240x240 px, Brain
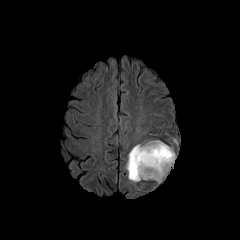
FLAIR magnetic resonance.
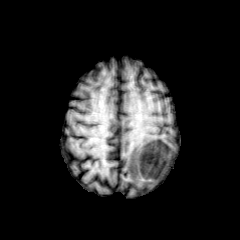
Same slice, T1-weighted magnetic resonance.
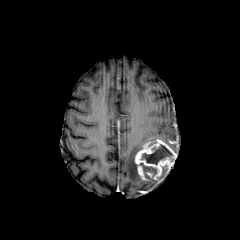
Post-contrast T1-weighted MRI of the same slice.
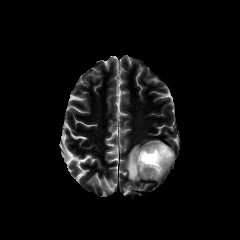
Same slice, T2-weighted MR.
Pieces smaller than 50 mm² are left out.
Findings:
- enhancing tumor: 135, 139, 176, 180
- peritumoral edema: 126, 144, 142, 181
- necrotic tumor core: 141, 145, 172, 164; 140, 163, 156, 176